FLAIR magnetic resonance.
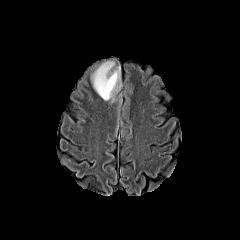
T1-weighted MRI.
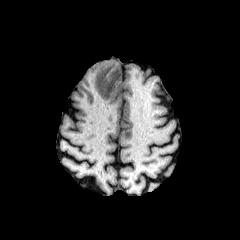
Post-contrast T1-weighted MRI.
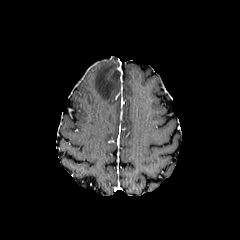
T2-weighted MR.
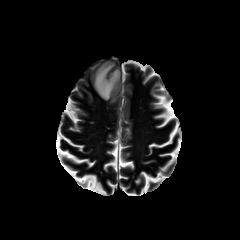
Head, Axial slice
Segmented structures:
• peritumoral edema: <box>92,61,120,100</box>